FLAIR magnetic resonance.
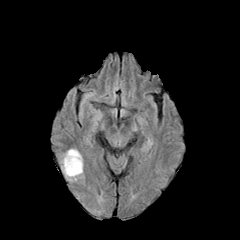
T1-weighted MR image.
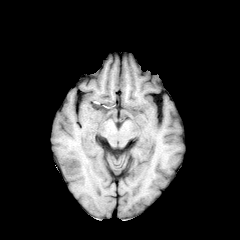
Post-contrast T1-weighted MR.
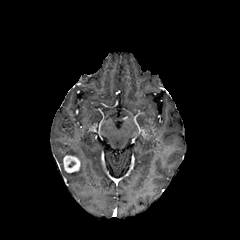
T2-weighted MR.
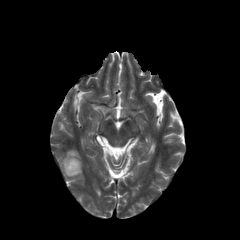
240x240
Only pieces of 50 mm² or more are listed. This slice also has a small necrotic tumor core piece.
<segmentation>
  <enhancing_tumor>[x1=63, y1=155, x2=80, y2=172]</enhancing_tumor>
  <peritumoral_edema>[x1=59, y1=149, x2=83, y2=182]</peritumoral_edema>
</segmentation>